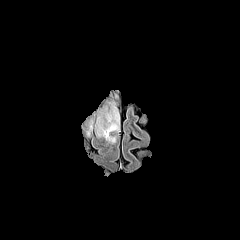
FLAIR MR.
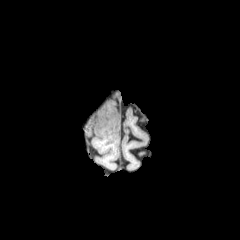
T1-weighted MR image of the same slice.
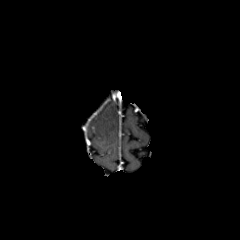
Same slice, post-contrast T1-weighted MRI.
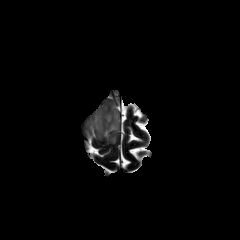
T2-weighted MRI.
Image size 240x240. Brain. Axial plane.
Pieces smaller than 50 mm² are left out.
The largest peritumoral edema region is at [96,107,119,142].